Image width 240 mm | Brain
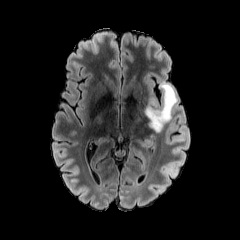
FLAIR MR.
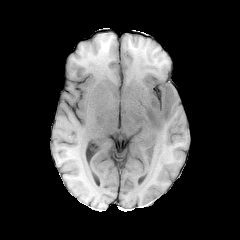
T1-weighted MRI.
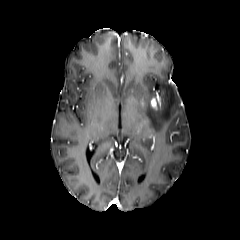
Post-contrast T1-weighted MRI.
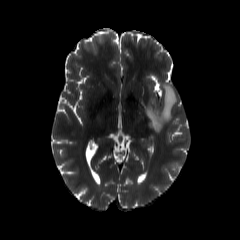
T2-weighted MR of the same slice.
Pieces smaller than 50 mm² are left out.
peritumoral edema: l=145, t=82, r=178, b=131
enhancing tumor: l=151, t=97, r=157, b=109